FLAIR MR image.
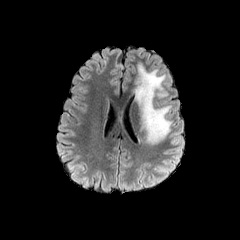
T1-weighted MRI.
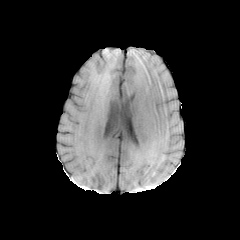
Post-contrast T1-weighted MR.
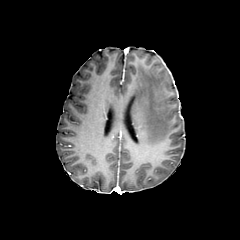
T2-weighted MR image.
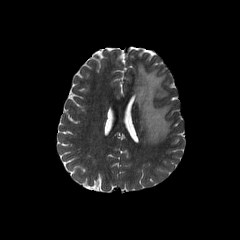
Image size 240x240; Head
• peritumoral edema: rect(134, 62, 171, 144)